Brain | Axial slice
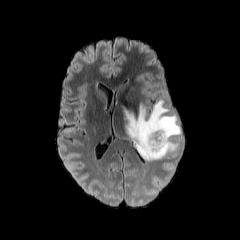
FLAIR magnetic resonance.
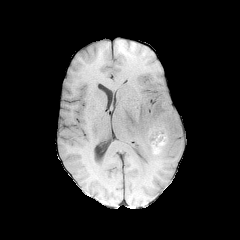
Same slice, T1-weighted MRI.
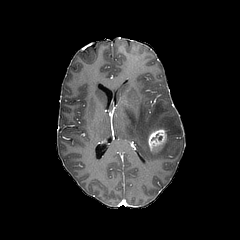
Post-contrast T1-weighted MR image of the same slice.
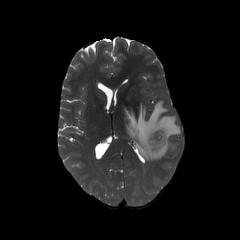
T2-weighted MR image.
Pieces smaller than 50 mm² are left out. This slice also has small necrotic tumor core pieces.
<segmentation>
  <peritumoral_edema><bbox>124, 98, 181, 160</bbox></peritumoral_edema>
  <enhancing_tumor><bbox>147, 128, 166, 151</bbox></enhancing_tumor>
</segmentation>